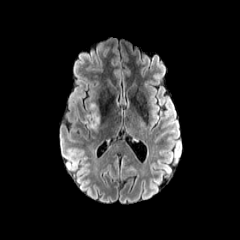
FLAIR magnetic resonance.
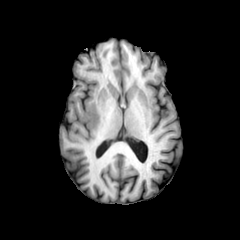
T1-weighted MR image of the same slice.
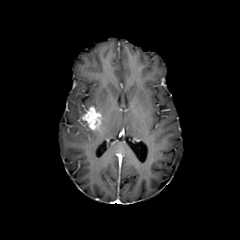
Same slice, post-contrast T1-weighted MR.
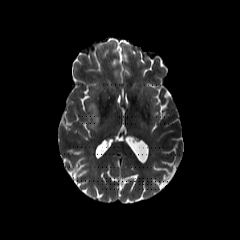
T2-weighted MRI.
240x240 px.
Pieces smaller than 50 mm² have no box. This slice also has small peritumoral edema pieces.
The enhancing tumor lies within 81,106,100,130.